FLAIR magnetic resonance.
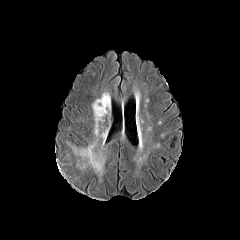
T1-weighted magnetic resonance.
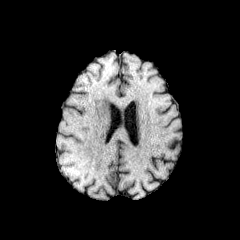
Post-contrast T1-weighted MRI.
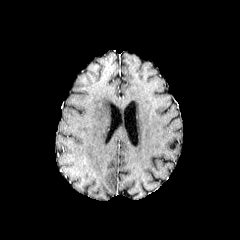
T2-weighted MR.
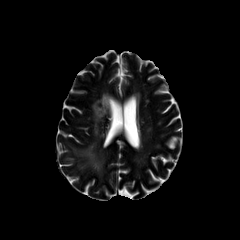
Brain.
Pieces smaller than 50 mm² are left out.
Annotated regions:
- peritumoral edema: {"x1": 92, "y1": 94, "x2": 107, "y2": 126}, {"x1": 79, "y1": 144, "x2": 103, "y2": 172}